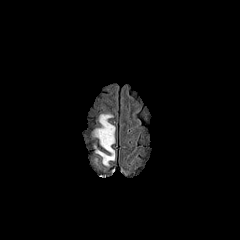
FLAIR MRI.
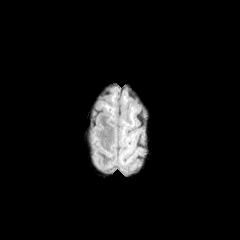
Same slice, T1-weighted MRI.
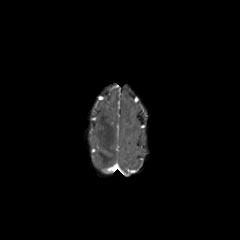
Post-contrast T1-weighted magnetic resonance.
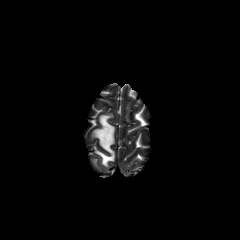
Same slice, T2-weighted magnetic resonance.
Brain, Axial view
The peritumoral edema lies within left=94, top=114, right=115, bottom=166.